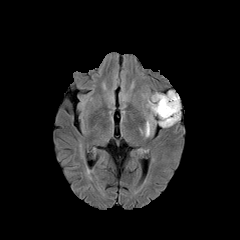
FLAIR MR image.
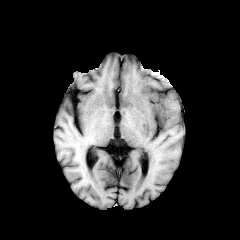
T1-weighted magnetic resonance.
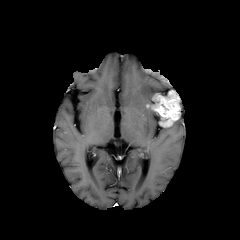
Post-contrast T1-weighted MR image of the same slice.
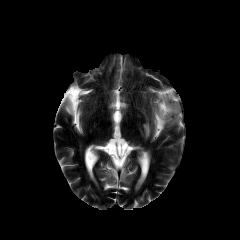
T2-weighted MR image.
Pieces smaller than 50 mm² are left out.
<segmentation>
  <peritumoral_edema><bbox>145, 122, 150, 136</bbox></peritumoral_edema>
  <enhancing_tumor><bbox>148, 90, 180, 127</bbox></enhancing_tumor>
</segmentation>